Image width 240 mm, 1.00 mm slice spacing; 240x240 px; Brain; Axial slice
FLAIR MRI.
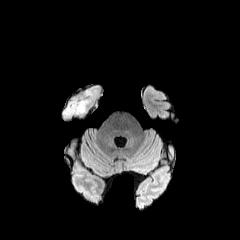
T1-weighted MR image.
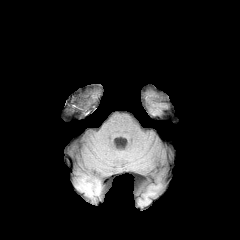
Post-contrast T1-weighted MR image.
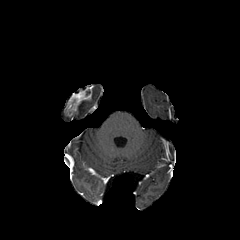
T2-weighted MR.
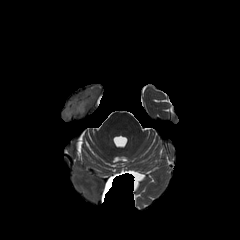
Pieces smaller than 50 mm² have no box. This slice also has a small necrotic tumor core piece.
<segmentation>
  <enhancing_tumor>[x1=65, y1=87, x2=91, y2=116]</enhancing_tumor>
  <peritumoral_edema>[x1=76, y1=100, x2=90, y2=114]</peritumoral_edema>
</segmentation>